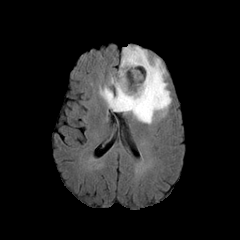
FLAIR magnetic resonance.
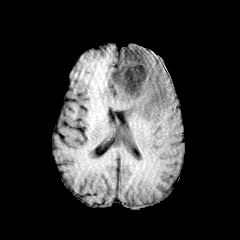
T1-weighted magnetic resonance.
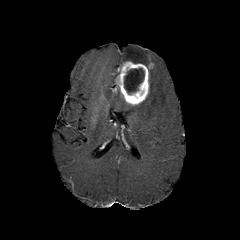
Post-contrast T1-weighted MRI.
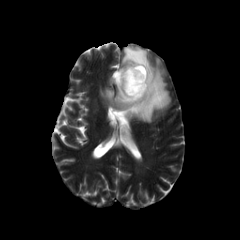
T2-weighted MR image.
240x240
The necrotic tumor core is bounded by (left=124, top=68, right=144, bottom=93). The peritumoral edema is bounded by (left=100, top=45, right=171, bottom=123). The enhancing tumor is at (left=115, top=61, right=153, bottom=105).